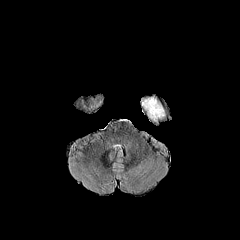
FLAIR MR.
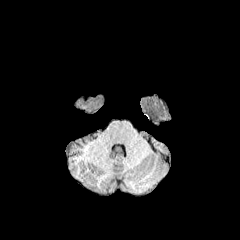
T1-weighted magnetic resonance of the same slice.
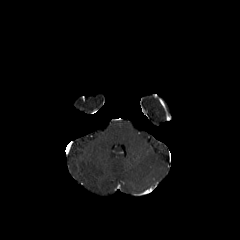
Same slice, post-contrast T1-weighted magnetic resonance.
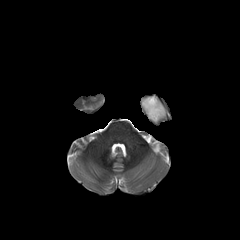
T2-weighted magnetic resonance.
Head
peritumoral edema: l=141, t=97, r=164, b=121